Image covers 240 mm x 240 mm, Head, 240x240
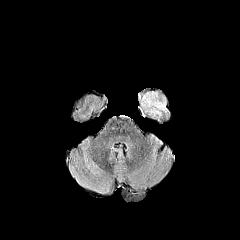
FLAIR MR.
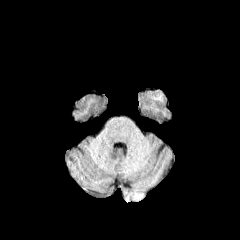
Same slice, T1-weighted magnetic resonance.
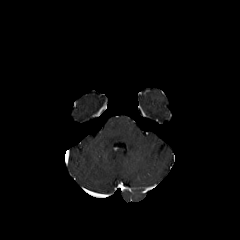
Post-contrast T1-weighted MRI.
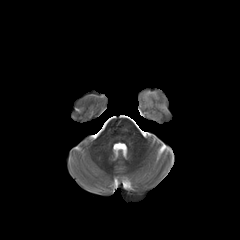
T2-weighted MRI of the same slice.
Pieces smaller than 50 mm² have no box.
peritumoral_edema:
  - bbox=[139, 91, 166, 109]